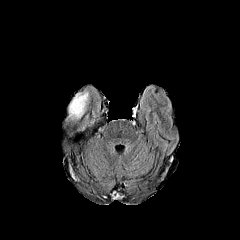
FLAIR magnetic resonance.
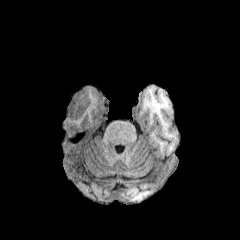
Same slice, T1-weighted MRI.
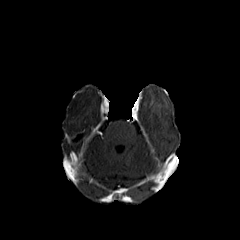
Post-contrast T1-weighted MR image of the same slice.
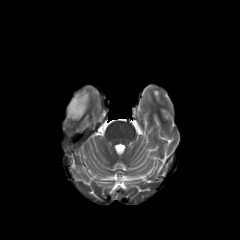
T2-weighted MR of the same slice.
240x240 px | Axial plane
The peritumoral edema is at x1=68 y1=91 x2=88 y2=119.